FLAIR magnetic resonance.
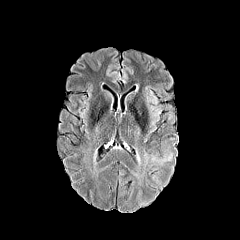
T1-weighted magnetic resonance.
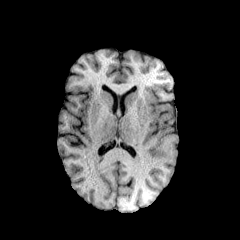
Post-contrast T1-weighted MRI.
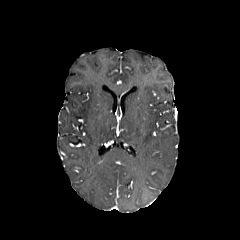
T2-weighted MR image.
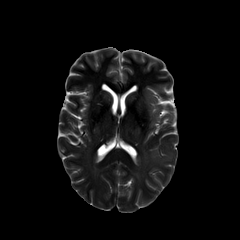
Brain. Axial plane.
The peritumoral edema lies within <box>132,148,172,178</box>.